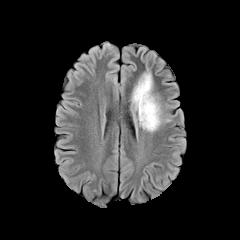
FLAIR MRI.
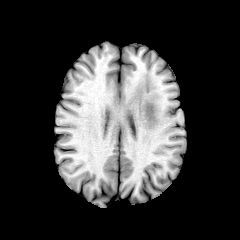
T1-weighted MR image of the same slice.
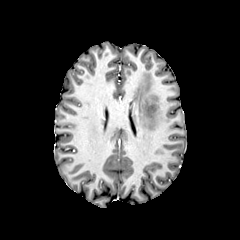
Post-contrast T1-weighted magnetic resonance.
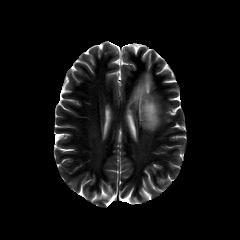
T2-weighted MR of the same slice.
240x240 px
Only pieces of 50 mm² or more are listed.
peritumoral edema: region(132, 73, 161, 132)